FLAIR magnetic resonance.
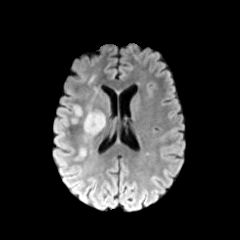
T1-weighted MR.
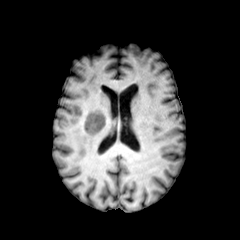
Post-contrast T1-weighted MR.
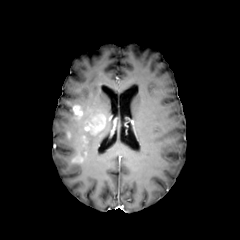
T2-weighted magnetic resonance.
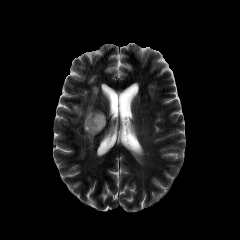
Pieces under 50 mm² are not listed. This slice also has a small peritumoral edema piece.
enhancing tumor: [73,105,82,117], [84,113,105,134]